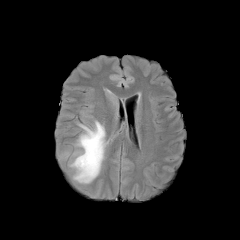
FLAIR MR image.
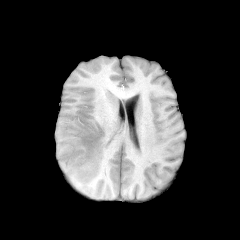
T1-weighted MR image.
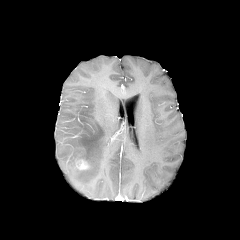
Post-contrast T1-weighted magnetic resonance.
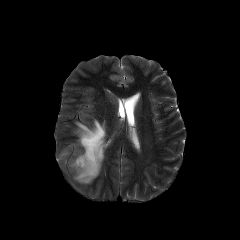
T2-weighted magnetic resonance.
Brain, Axial view
* enhancing tumor: (x1=75, y1=159, x2=89, y2=169)
* peritumoral edema: (x1=61, y1=120, x2=107, y2=183)